Slice 98 of 155. Brain.
FLAIR MR.
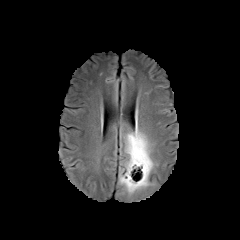
T1-weighted magnetic resonance.
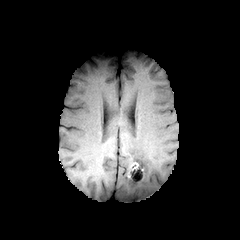
Post-contrast T1-weighted MRI.
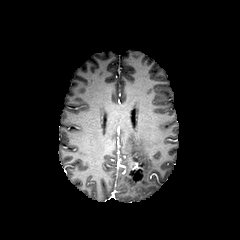
T2-weighted MRI.
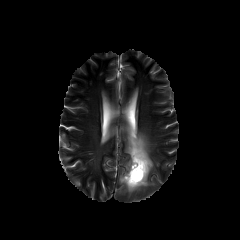
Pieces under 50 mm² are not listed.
The largest enhancing tumor region is bounded by 128, 163, 144, 182. The largest necrotic tumor core region is bounded by 133, 169, 142, 180. The peritumoral edema lies within 119, 129, 154, 194.